Head | Image width 240 mm | Slice 76/155 | Axial plane
FLAIR MR image.
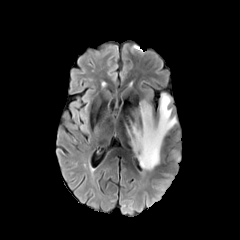
T1-weighted MRI.
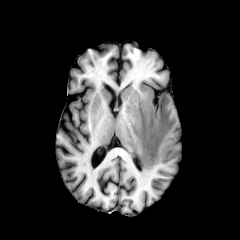
Post-contrast T1-weighted MR.
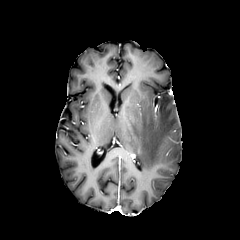
T2-weighted MRI.
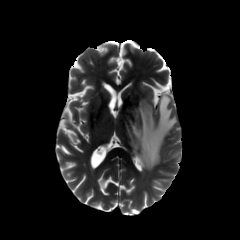
The peritumoral edema lies within x1=127, y1=93, x2=176, y2=171.